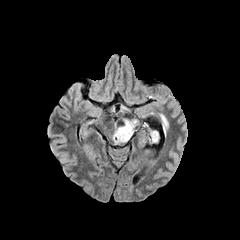
FLAIR magnetic resonance.
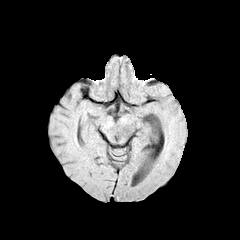
T1-weighted MR of the same slice.
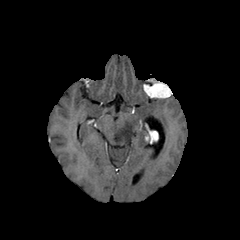
Same slice, post-contrast T1-weighted MRI.
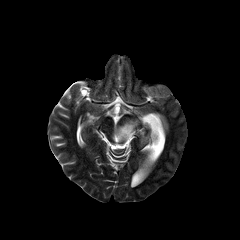
Same slice, T2-weighted MRI.
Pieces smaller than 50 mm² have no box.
peritumoral edema: bounding box region(158, 114, 168, 135); region(112, 119, 138, 143)
enhancing tumor: bounding box region(145, 130, 158, 143)